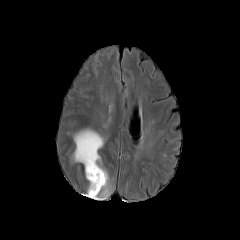
FLAIR magnetic resonance.
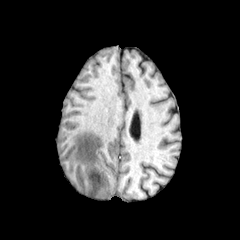
T1-weighted MR image.
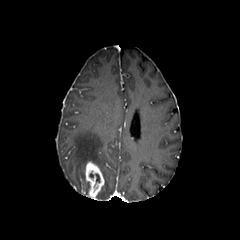
Same slice, post-contrast T1-weighted MRI.
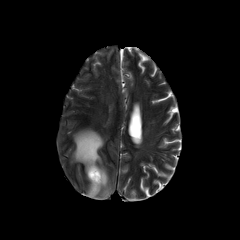
T2-weighted MRI of the same slice.
Axial slice
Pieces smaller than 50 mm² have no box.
The enhancing tumor is bounded by bbox=[85, 161, 104, 199]. The largest peritumoral edema region appears at bbox=[73, 129, 112, 199]. The necrotic tumor core is located at bbox=[89, 173, 99, 182].